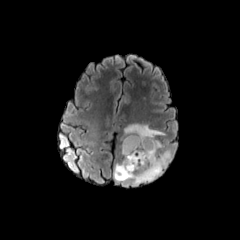
FLAIR MRI.
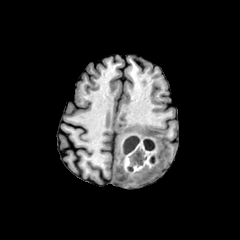
Same slice, T1-weighted magnetic resonance.
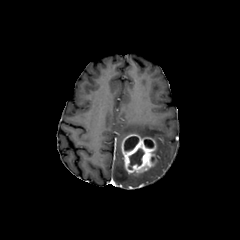
Same slice, post-contrast T1-weighted MR image.
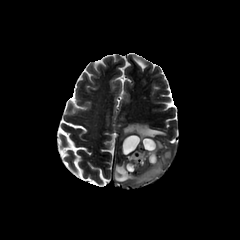
T2-weighted magnetic resonance.
Axial plane; Head
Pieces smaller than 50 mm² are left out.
<segmentation>
  <necrotic_tumor_core>box=[144, 139, 153, 147]; box=[129, 148, 144, 165]; box=[124, 136, 138, 150]</necrotic_tumor_core>
  <peritumoral_edema>box=[114, 123, 171, 185]</peritumoral_edema>
  <enhancing_tumor>box=[121, 134, 156, 173]</enhancing_tumor>
</segmentation>